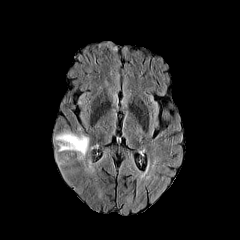
FLAIR MRI.
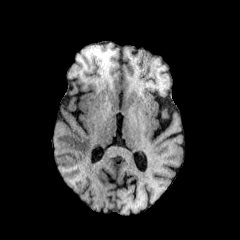
Same slice, T1-weighted MRI.
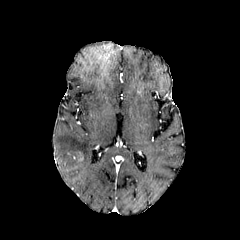
Same slice, post-contrast T1-weighted MRI.
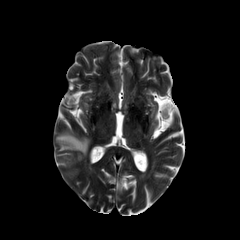
Same slice, T2-weighted MR.
Axial plane, Brain, 240x240 px
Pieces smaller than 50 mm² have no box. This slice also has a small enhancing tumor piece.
peritumoral edema = 55:132:89:157